Brain; 240x240 px; Axial plane
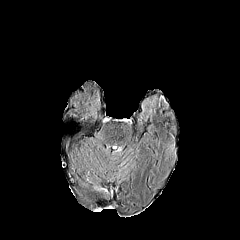
FLAIR MR image.
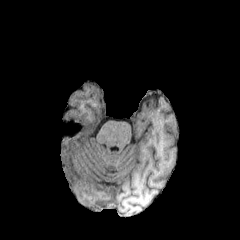
T1-weighted MR.
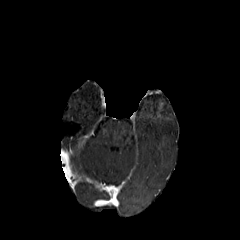
Post-contrast T1-weighted MRI.
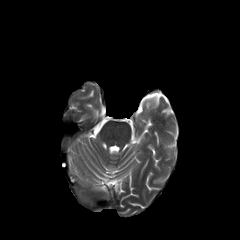
T2-weighted magnetic resonance.
enhancing tumor — region(94, 182, 110, 193)